Image covers 240 mm x 240 mm, Image size 240x240, Brain
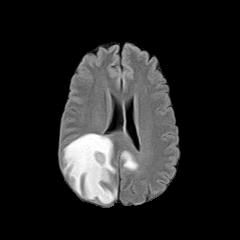
FLAIR MR.
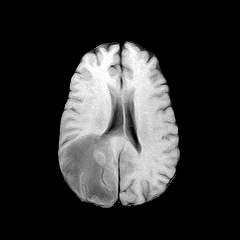
Same slice, T1-weighted MRI.
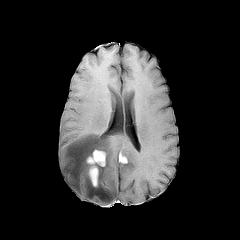
Same slice, post-contrast T1-weighted MRI.
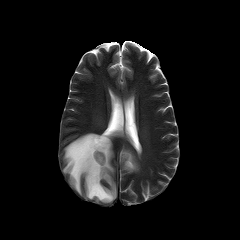
Same slice, T2-weighted MR image.
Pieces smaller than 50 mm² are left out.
peritumoral edema: 121:150:138:171, 63:133:116:203 | enhancing tumor: 87:150:105:186